Brain; 240x240
FLAIR MR image.
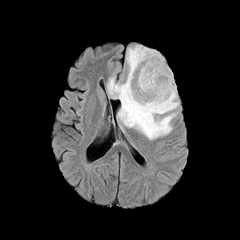
T1-weighted MR.
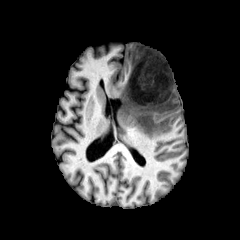
Post-contrast T1-weighted magnetic resonance.
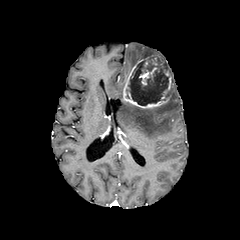
T2-weighted magnetic resonance.
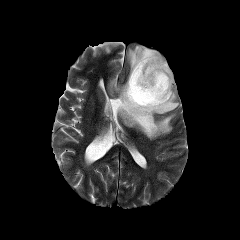
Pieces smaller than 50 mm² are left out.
Findings:
• peritumoral edema: (left=107, top=45, right=179, bottom=139)
• necrotic tumor core: (left=126, top=54, right=170, bottom=105)
• enhancing tumor: (left=139, top=67, right=157, bottom=85), (left=122, top=59, right=169, bottom=108), (left=161, top=67, right=172, bottom=98)